Brain; Slice 104 of 155
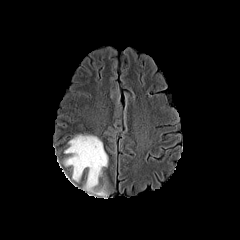
FLAIR MR image.
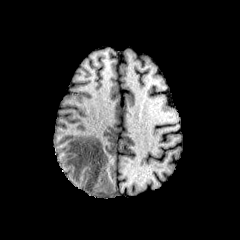
Same slice, T1-weighted magnetic resonance.
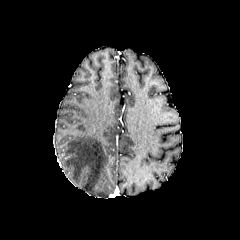
Post-contrast T1-weighted MR.
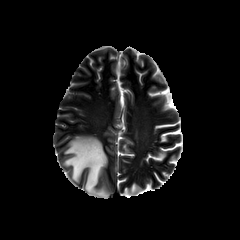
T2-weighted MR.
The peritumoral edema is at (x1=64, y1=135, x2=108, y2=198).